FLAIR MR image.
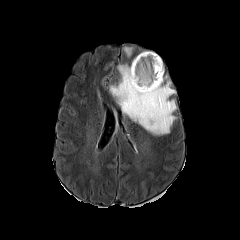
T1-weighted magnetic resonance.
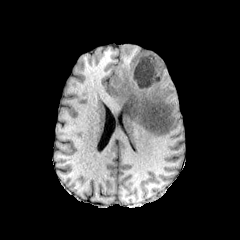
Post-contrast T1-weighted magnetic resonance.
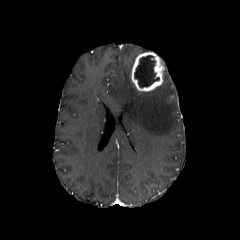
T2-weighted magnetic resonance.
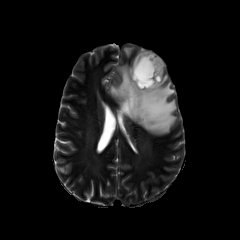
240x240 px. Brain.
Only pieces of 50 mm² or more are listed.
peritumoral edema = box(123, 47, 132, 56); box(109, 59, 176, 135)
enhancing tumor = box(131, 52, 164, 92)
necrotic tumor core = box(134, 55, 159, 87)